FLAIR MR.
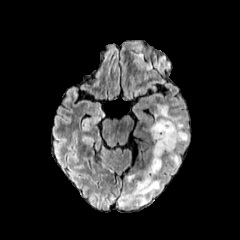
T1-weighted MR.
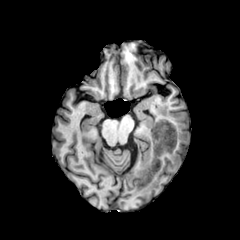
Post-contrast T1-weighted MRI.
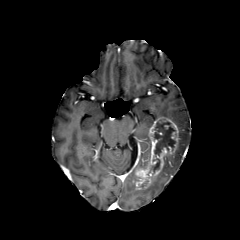
T2-weighted MR.
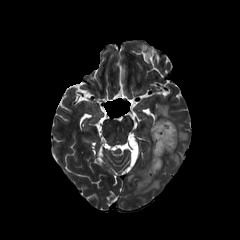
Image size 240x240
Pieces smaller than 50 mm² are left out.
<segmentation>
  <enhancing_tumor>l=135, t=117, r=179, b=189</enhancing_tumor>
  <necrotic_tumor_core>l=151, t=158, r=160, b=172; l=154, t=122, r=175, b=155</necrotic_tumor_core>
  <peritumoral_edema>l=155, t=104, r=188, b=170; l=134, t=179, r=160, b=194</peritumoral_edema>
</segmentation>